Image width 240 mm; Brain
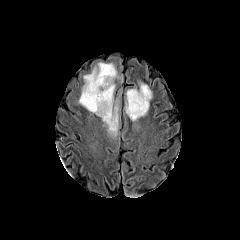
FLAIR MR image.
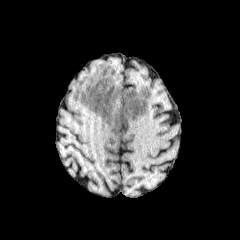
T1-weighted MRI of the same slice.
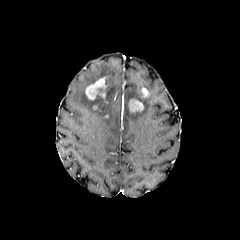
Post-contrast T1-weighted MRI of the same slice.
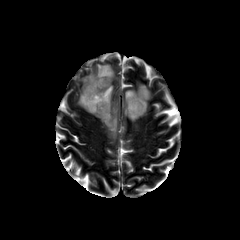
T2-weighted MR image of the same slice.
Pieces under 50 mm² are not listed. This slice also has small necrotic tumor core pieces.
enhancing tumor at <box>129,99,143,112</box>, <box>85,76,106,99</box>, <box>140,87,149,97</box>
peritumoral edema at <box>78,63,119,135</box>, <box>125,82,152,121</box>